Axial plane | Image width 240 mm, 1.00 mm slice spacing | 240x240
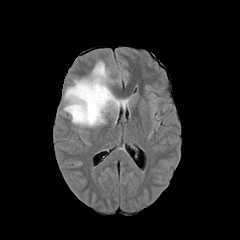
FLAIR MR.
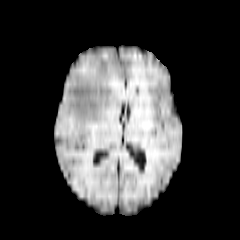
T1-weighted MR image.
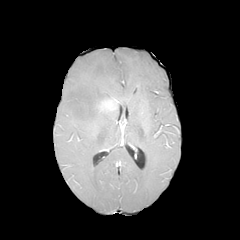
Post-contrast T1-weighted magnetic resonance.
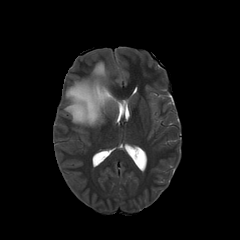
T2-weighted MR.
<segmentation>
  <peritumoral_edema>l=63, t=61, r=129, b=127</peritumoral_edema>
  <enhancing_tumor>l=99, t=99, r=117, b=110</enhancing_tumor>
</segmentation>